Head
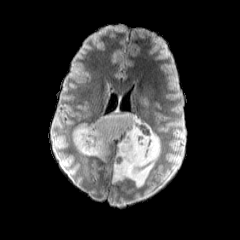
FLAIR MR image.
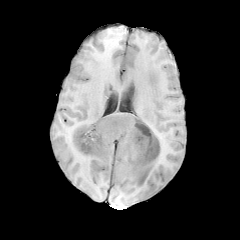
T1-weighted MR image.
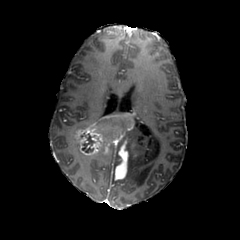
Post-contrast T1-weighted magnetic resonance.
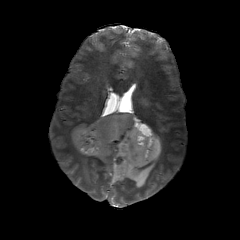
T2-weighted MR image of the same slice.
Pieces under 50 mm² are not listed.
<segmentation>
  <enhancing_tumor>bbox=[73, 114, 134, 180]</enhancing_tumor>
  <necrotic_tumor_core>bbox=[81, 133, 94, 152]; bbox=[98, 117, 126, 127]</necrotic_tumor_core>
  <peritumoral_edema>bbox=[91, 148, 113, 160]; bbox=[113, 118, 160, 187]</peritumoral_edema>
</segmentation>